Head | 240x240 px | Slice index 65 | Image width 240 mm, 1.00 mm slice spacing
FLAIR MR.
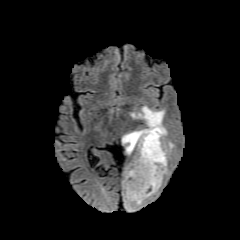
T1-weighted MR image.
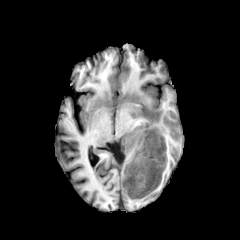
Post-contrast T1-weighted magnetic resonance.
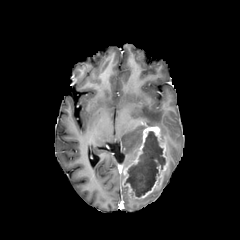
T2-weighted MRI.
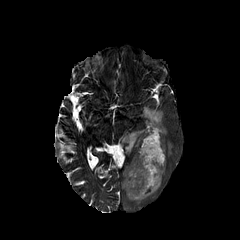
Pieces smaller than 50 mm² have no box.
The 4 largest peritumoral edema regions are bounded by (122,186,159,209), (166,141,173,158), (122,129,143,154), (132,106,167,140). The necrotic tumor core appears at (124,131,165,197). The enhancing tumor is bounded by (122,126,167,199).